240x240 px, Axial plane, Brain, Image covers 240 mm x 240 mm
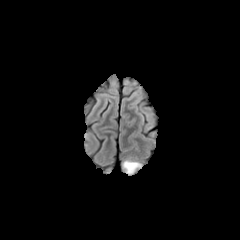
FLAIR magnetic resonance.
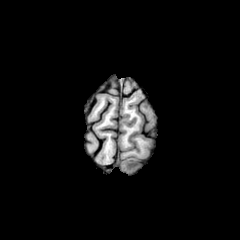
T1-weighted MR.
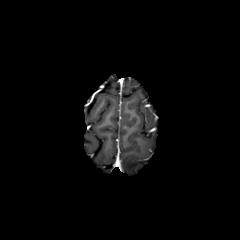
Post-contrast T1-weighted MR image of the same slice.
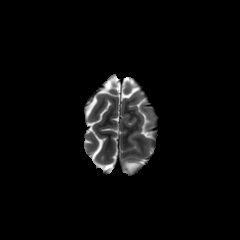
T2-weighted magnetic resonance of the same slice.
peritumoral edema: (123,161,141,173)